240x240, Axial plane
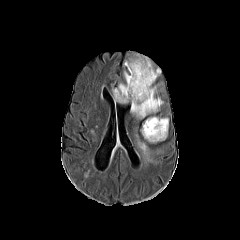
FLAIR magnetic resonance.
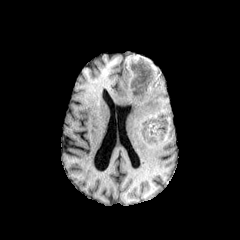
T1-weighted MRI.
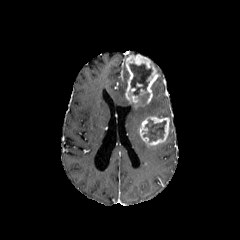
Post-contrast T1-weighted MR.
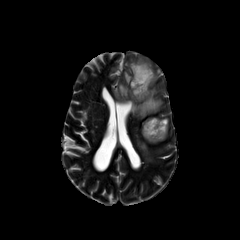
T2-weighted magnetic resonance.
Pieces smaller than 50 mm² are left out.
necrotic_tumor_core:
  - [129, 64, 152, 95]
  - [143, 119, 166, 141]
enhancing_tumor:
  - [139, 116, 169, 144]
  - [125, 54, 159, 107]
peritumoral_edema:
  - [135, 135, 151, 160]
  - [130, 84, 163, 119]
  - [112, 83, 129, 102]